Image size 240x240, Image covers 240 mm x 240 mm, Head
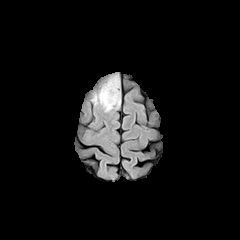
FLAIR magnetic resonance.
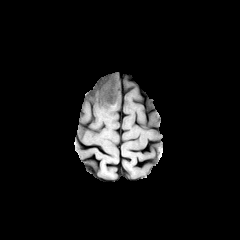
Same slice, T1-weighted MR.
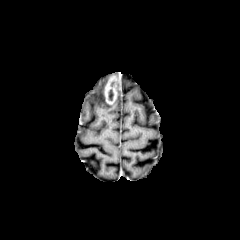
Post-contrast T1-weighted MRI.
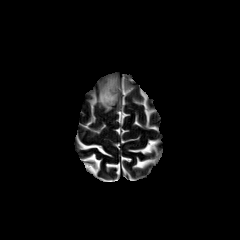
T2-weighted MR of the same slice.
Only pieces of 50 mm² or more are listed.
enhancing tumor = 104, 76, 118, 104
necrotic tumor core = 108, 89, 114, 100
peritumoral edema = 91, 75, 120, 111